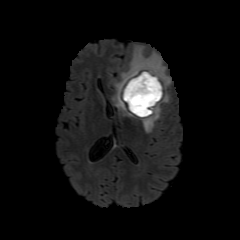
FLAIR MR image.
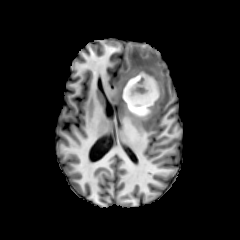
T1-weighted magnetic resonance of the same slice.
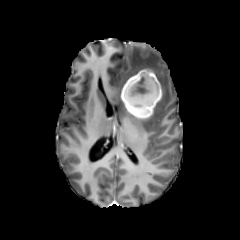
Post-contrast T1-weighted MR.
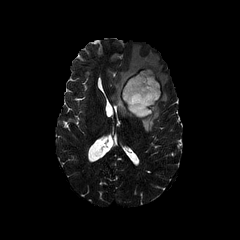
T2-weighted MRI.
Head
peritumoral edema: bounding box 112, 46, 170, 132
enhancing tumor: bounding box 121, 69, 161, 118
necrotic tumor core: bounding box 124, 72, 158, 114